Image width 240 mm. Brain.
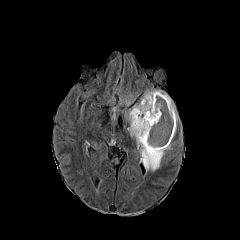
FLAIR MR.
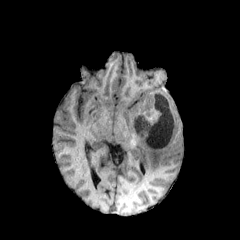
Same slice, T1-weighted magnetic resonance.
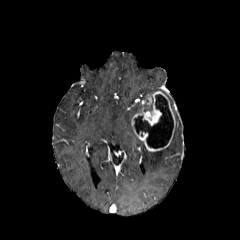
Post-contrast T1-weighted MR image of the same slice.
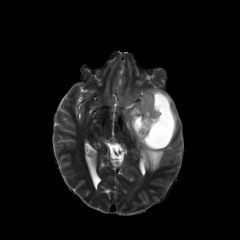
T2-weighted MR.
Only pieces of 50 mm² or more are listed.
Annotated regions:
* enhancing tumor: x1=131, y1=91, x2=175, y2=151
* peritumoral edema: x1=168, y1=96, x2=178, y2=132; x1=126, y1=102, x2=171, y2=171; x1=142, y1=89, x2=167, y2=99
* necrotic tumor core: x1=134, y1=94, x2=173, y2=148